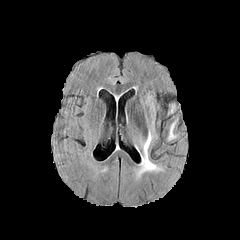
FLAIR MR image.
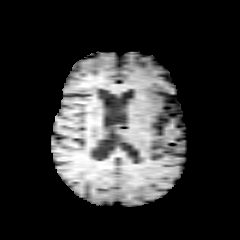
T1-weighted magnetic resonance.
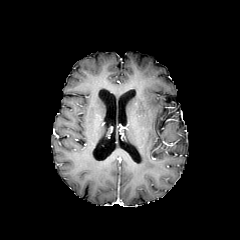
Post-contrast T1-weighted MR.
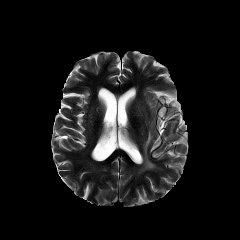
T2-weighted MR.
Axial view
2 peritumoral edema regions appear at region(169, 123, 174, 138); region(140, 132, 158, 172).